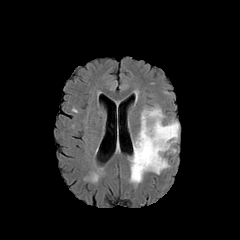
FLAIR MR.
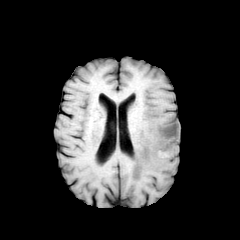
Same slice, T1-weighted MR.
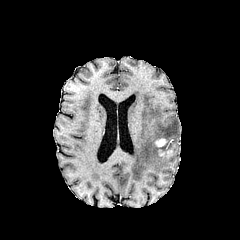
Same slice, post-contrast T1-weighted MRI.
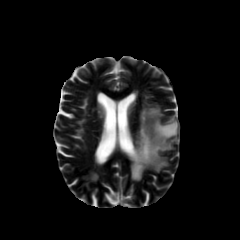
T2-weighted MRI.
Head; Axial slice
The enhancing tumor is bounded by [154, 138, 168, 148]. The peritumoral edema is bounded by [130, 107, 179, 182].